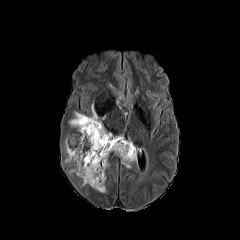
FLAIR magnetic resonance.
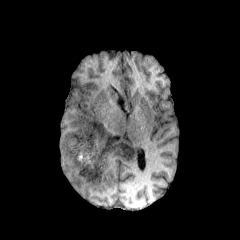
Same slice, T1-weighted MR image.
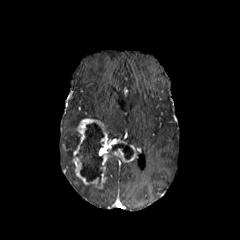
Post-contrast T1-weighted MR image of the same slice.
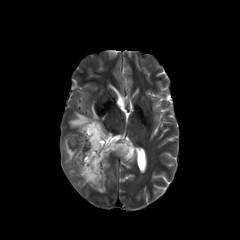
T2-weighted MRI.
Brain
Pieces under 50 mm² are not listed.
necrotic tumor core = box=[111, 143, 133, 159]; box=[76, 123, 103, 182]
enhancing tumor = box=[72, 118, 137, 188]
peritumoral edema = box=[90, 184, 105, 192]; box=[69, 104, 99, 127]; box=[65, 140, 73, 162]